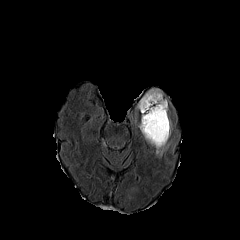
FLAIR MR image.
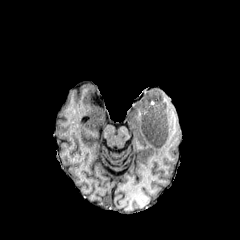
T1-weighted magnetic resonance.
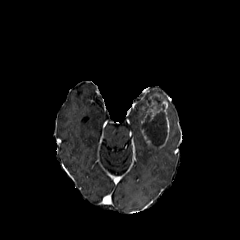
Same slice, post-contrast T1-weighted MR image.
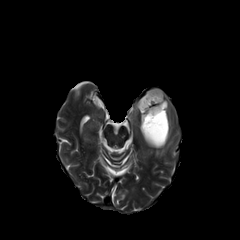
T2-weighted magnetic resonance.
240x240 px. Head.
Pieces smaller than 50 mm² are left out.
<segmentation>
  <peritumoral_edema><box>155,141,171,156</box>, <box>136,89,163,119</box></peritumoral_edema>
  <necrotic_tumor_core><box>152,96,164,109</box>, <box>142,111,167,146</box></necrotic_tumor_core>
  <enhancing_tumor><box>141,93,169,147</box></enhancing_tumor>
</segmentation>